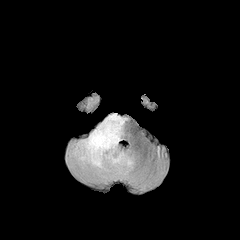
FLAIR MRI.
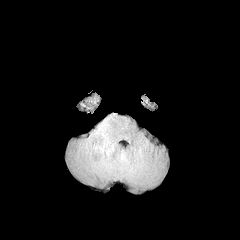
T1-weighted MRI.
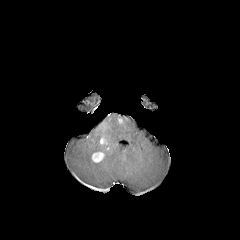
Post-contrast T1-weighted magnetic resonance.
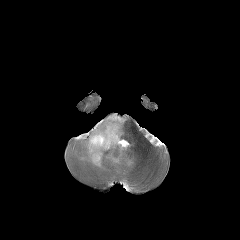
T2-weighted MR image.
Axial view. Head.
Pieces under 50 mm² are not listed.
The peritumoral edema is bounded by {"x1": 67, "y1": 113, "x2": 134, "y2": 180}. The 2 largest enhancing tumor regions are located at {"x1": 91, "y1": 151, "x2": 104, "y2": 162}, {"x1": 98, "y1": 136, "x2": 107, "y2": 145}.